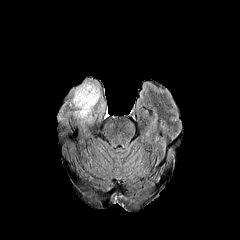
FLAIR MR.
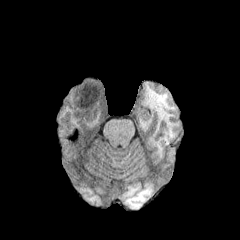
T1-weighted magnetic resonance of the same slice.
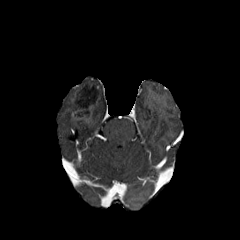
Post-contrast T1-weighted MRI.
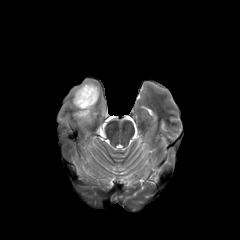
T2-weighted MRI.
Image size 240x240; Axial plane
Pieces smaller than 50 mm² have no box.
necrotic tumor core: bounding box (x1=75, y1=85, x2=97, y2=117)
enhancing tumor: bounding box (x1=77, y1=115, x2=91, y2=123)
peritumoral edema: bounding box (x1=72, y1=80, x2=105, y2=123)